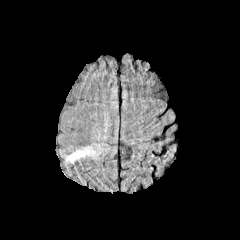
FLAIR magnetic resonance.
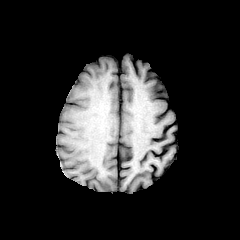
T1-weighted MR of the same slice.
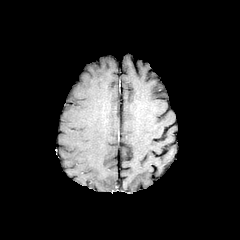
Post-contrast T1-weighted magnetic resonance.
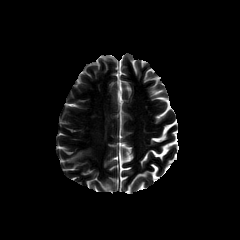
T2-weighted MR.
Axial view. 240x240.
peritumoral_edema:
  - 67, 149, 90, 162